FLAIR MR image.
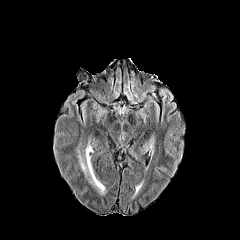
T1-weighted MRI.
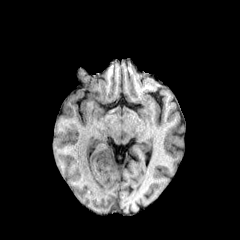
Post-contrast T1-weighted MRI.
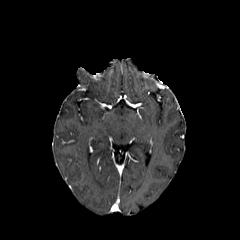
T2-weighted MR image.
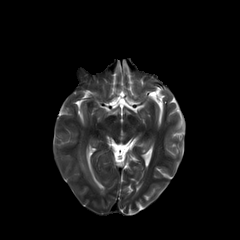
Axial slice
Annotated regions:
- peritumoral edema: [78,146,105,194]